Axial slice. Image covers 240 mm x 240 mm.
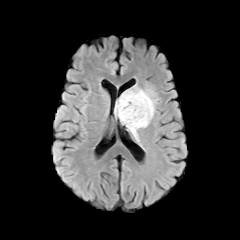
FLAIR MRI.
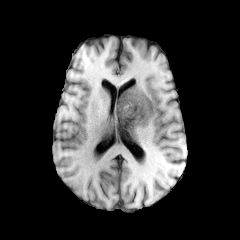
T1-weighted MR.
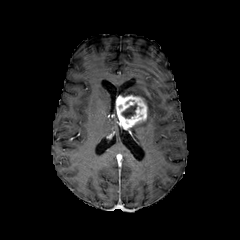
Post-contrast T1-weighted MR.
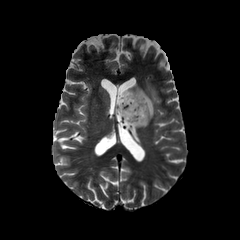
Same slice, T2-weighted magnetic resonance.
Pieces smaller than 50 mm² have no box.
enhancing_tumor:
  - x1=115, y1=95, x2=147, y2=129
peritumoral_edema:
  - x1=122, y1=84, x2=157, y2=141
necrotic_tumor_core:
  - x1=122, y1=104, x2=136, y2=118